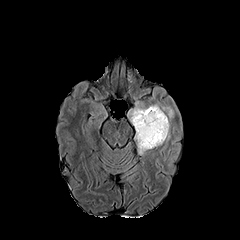
FLAIR magnetic resonance.
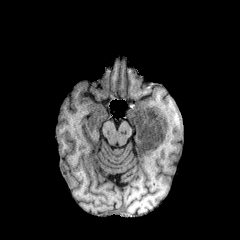
T1-weighted MR.
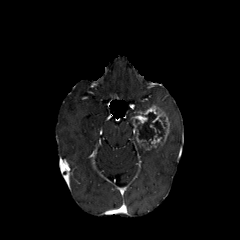
Post-contrast T1-weighted MRI of the same slice.
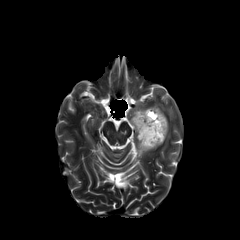
T2-weighted MR image.
Brain; Axial slice
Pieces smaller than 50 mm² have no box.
The largest necrotic tumor core region is bounded by 137 112 165 146. The largest peritumoral edema region is bounded by 132 107 145 115. The largest enhancing tumor region is bounded by 131 105 169 149.